FLAIR MR.
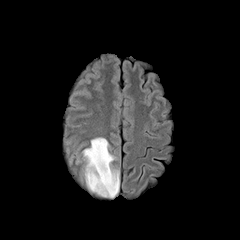
T1-weighted MR.
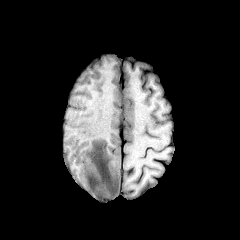
Post-contrast T1-weighted MR image.
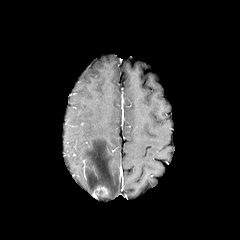
T2-weighted MRI.
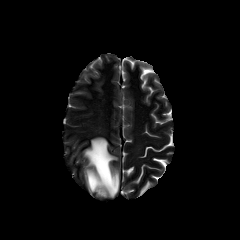
enhancing tumor = left=93, top=185, right=109, bottom=197
peritumoral edema = left=83, top=137, right=119, bottom=197